240x240. Slice 92/155. Brain.
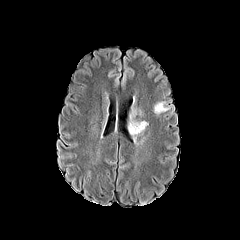
FLAIR MRI.
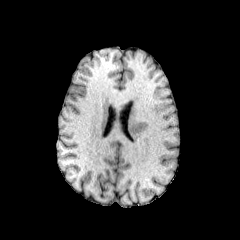
T1-weighted MR image of the same slice.
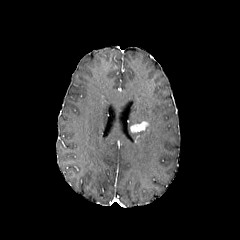
Post-contrast T1-weighted MR image.
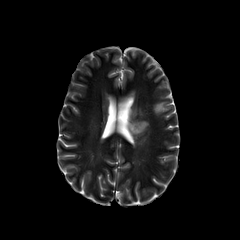
T2-weighted MR image of the same slice.
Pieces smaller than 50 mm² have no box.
<segmentation>
  <enhancing_tumor>bbox=[130, 121, 148, 132]</enhancing_tumor>
  <peritumoral_edema>bbox=[154, 102, 169, 114]; bbox=[129, 109, 142, 130]</peritumoral_edema>
</segmentation>